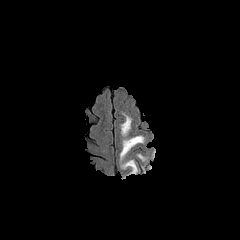
FLAIR MR image.
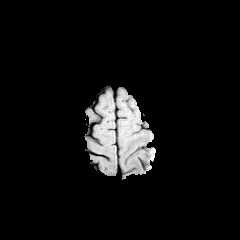
T1-weighted magnetic resonance.
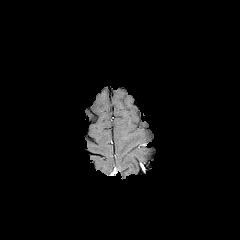
Post-contrast T1-weighted MR.
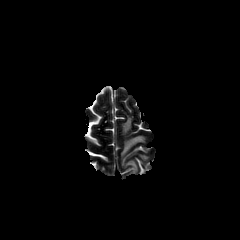
T2-weighted MR of the same slice.
Axial view
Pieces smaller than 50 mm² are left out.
<segmentation>
  <peritumoral_edema>{"x1": 120, "y1": 113, "x2": 145, "y2": 174}</peritumoral_edema>
</segmentation>